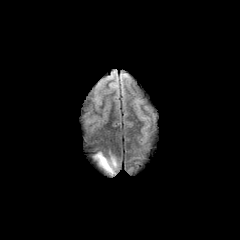
FLAIR magnetic resonance.
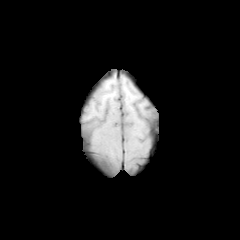
T1-weighted MR.
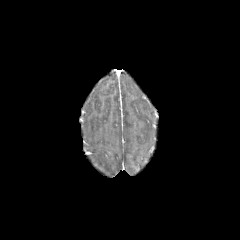
Post-contrast T1-weighted magnetic resonance of the same slice.
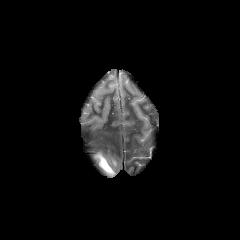
Same slice, T2-weighted magnetic resonance.
Brain
peritumoral edema — box(93, 152, 118, 175)